FLAIR MRI.
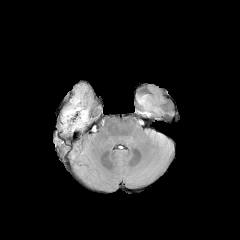
T1-weighted MR.
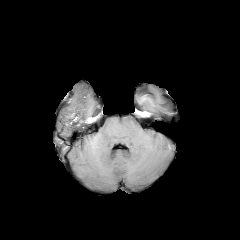
Post-contrast T1-weighted MR image.
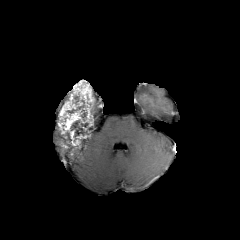
T2-weighted MR image.
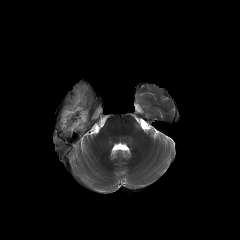
Brain
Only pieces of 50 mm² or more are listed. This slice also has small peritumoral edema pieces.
enhancing tumor = <bbox>72, 135, 87, 148</bbox>, <bbox>58, 81, 94, 138</bbox>
necrotic tumor core = <bbox>71, 120, 88, 135</bbox>, <bbox>67, 105, 84, 113</bbox>